Slice 92/155; 240x240 px
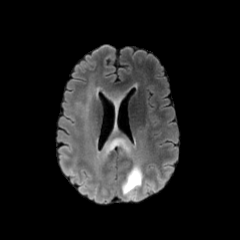
FLAIR MRI.
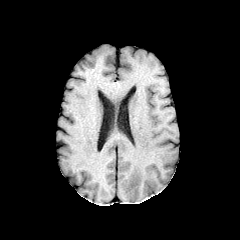
T1-weighted MRI.
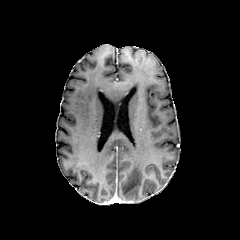
Post-contrast T1-weighted magnetic resonance of the same slice.
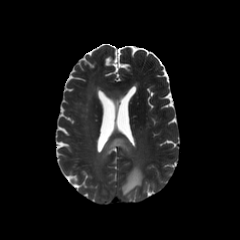
T2-weighted MR of the same slice.
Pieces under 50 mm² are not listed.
<segmentation>
  <peritumoral_edema>box(104, 129, 147, 194)</peritumoral_edema>
</segmentation>